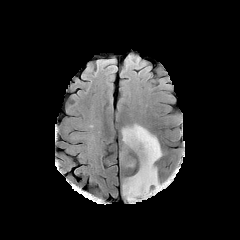
FLAIR MR.
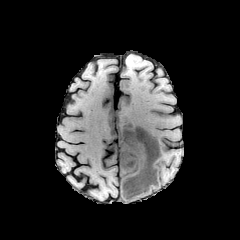
T1-weighted MR image.
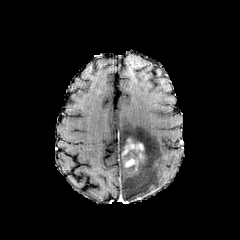
Same slice, post-contrast T1-weighted MR image.
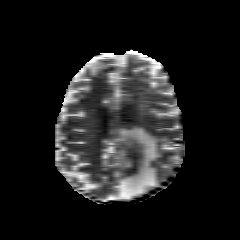
T2-weighted MR of the same slice.
Axial plane | 240x240
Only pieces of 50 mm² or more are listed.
The largest peritumoral edema region is located at l=121, t=124, r=162, b=200. The enhancing tumor is at l=122, t=138, r=144, b=167.